240x240 | Brain | Axial slice | Slice 107 of 155
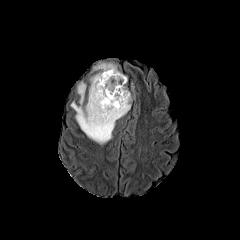
FLAIR MR image.
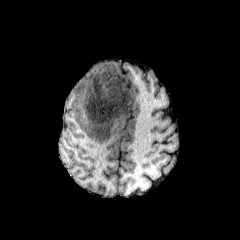
Same slice, T1-weighted magnetic resonance.
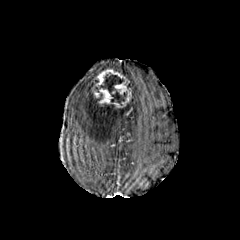
Same slice, post-contrast T1-weighted MR.
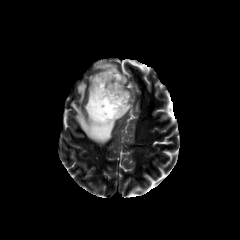
Same slice, T2-weighted magnetic resonance.
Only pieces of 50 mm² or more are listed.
peritumoral edema: 71,76,132,144; 94,63,117,75
necrotic tumor core: 99,74,127,105; 92,92,121,108
enhancing tumor: 92,69,131,107